Axial slice; Image width 240 mm, 1.00 mm slice spacing
FLAIR magnetic resonance.
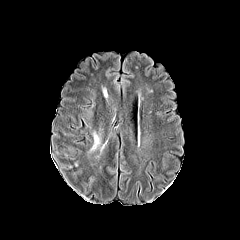
T1-weighted magnetic resonance.
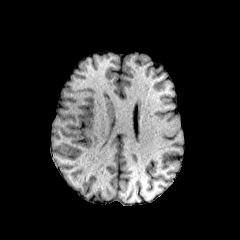
Post-contrast T1-weighted magnetic resonance.
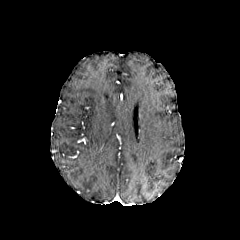
T2-weighted MR.
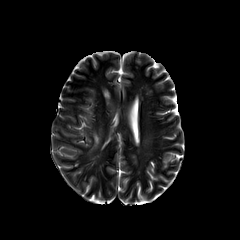
{
  "peritumoral_edema": [
    "91,132,100,150"
  ]
}